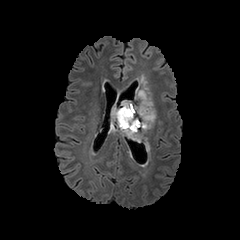
FLAIR magnetic resonance.
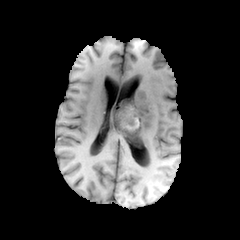
T1-weighted MR image.
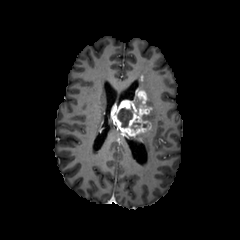
Post-contrast T1-weighted magnetic resonance of the same slice.
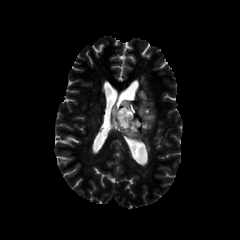
T2-weighted magnetic resonance of the same slice.
Axial view, Head, 240x240 px
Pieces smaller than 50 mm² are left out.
The largest peritumoral edema region lies within (x1=135, y1=74, x2=155, y2=150). The largest enhancing tumor region is at (x1=111, y1=91, x2=152, y2=138). The largest necrotic tumor core region appears at (x1=117, y1=108, x2=133, y2=127).